Slice 76 of 155; Axial plane
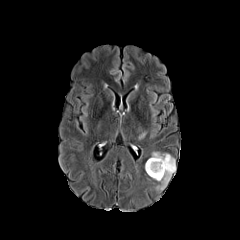
FLAIR MR.
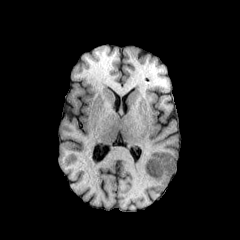
T1-weighted MRI.
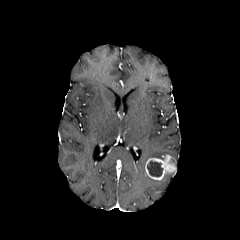
Post-contrast T1-weighted MR image of the same slice.
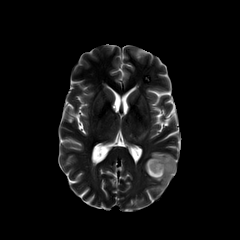
Same slice, T2-weighted magnetic resonance.
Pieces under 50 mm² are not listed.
The 2 largest peritumoral edema regions are located at l=151, t=151, r=169, b=159; l=156, t=174, r=171, b=190. The enhancing tumor is at l=145, t=155, r=175, b=180. The necrotic tumor core is located at l=147, t=161, r=162, b=176.